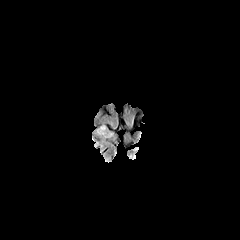
FLAIR MR.
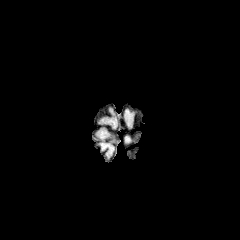
T1-weighted MRI.
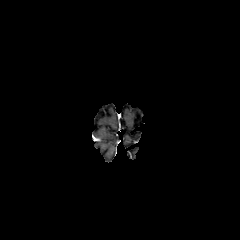
Post-contrast T1-weighted MR.
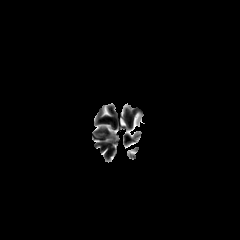
Same slice, T2-weighted MRI.
Segmented structures:
• peritumoral edema: box=[97, 126, 113, 137]